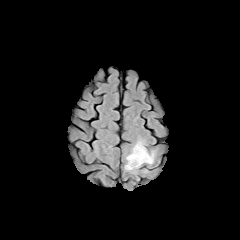
FLAIR magnetic resonance.
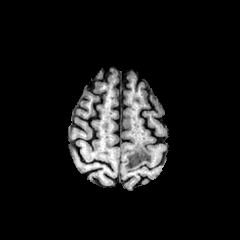
T1-weighted MR image.
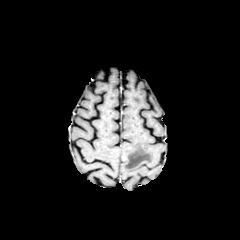
Post-contrast T1-weighted MR of the same slice.
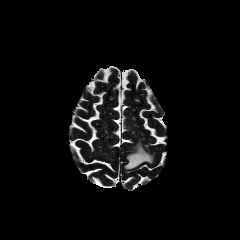
T2-weighted MRI.
The peritumoral edema is at [x1=125, y1=139, x2=154, y2=170].